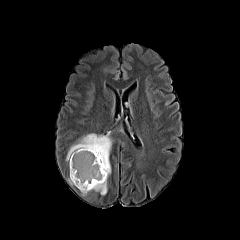
FLAIR MR.
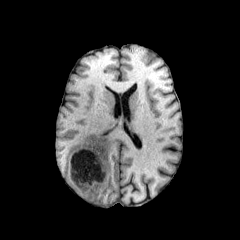
T1-weighted MR of the same slice.
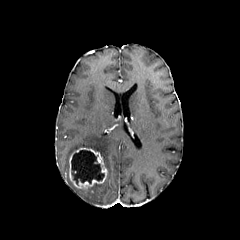
Post-contrast T1-weighted MR image.
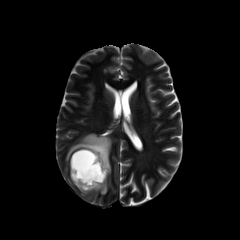
T2-weighted MR of the same slice.
Head; Axial plane; 240x240
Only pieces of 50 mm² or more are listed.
{"enhancing_tumor": ["rect(69, 148, 107, 190)"], "necrotic_tumor_core": ["rect(71, 150, 104, 184)"], "peritumoral_edema": ["rect(66, 133, 116, 195)"]}